FLAIR MR image.
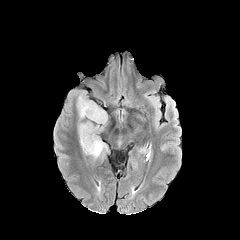
T1-weighted MRI.
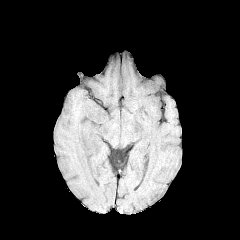
Post-contrast T1-weighted MRI.
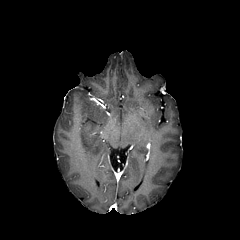
T2-weighted MR image.
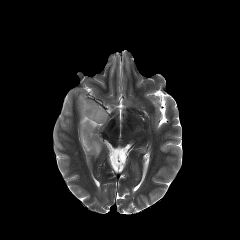
Axial slice; Brain
Findings:
* peritumoral edema: <box>77,92,107,159</box>